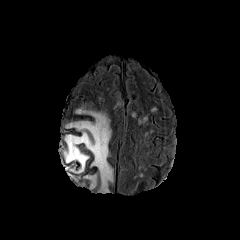
FLAIR MR image.
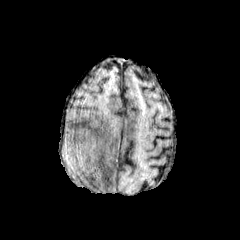
T1-weighted MRI.
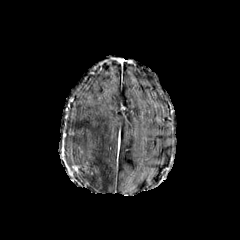
Same slice, post-contrast T1-weighted magnetic resonance.
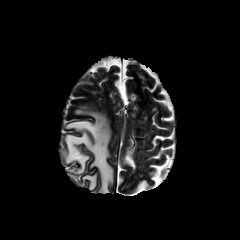
T2-weighted MR of the same slice.
peritumoral edema — <box>84,175,96,187</box>, <box>65,109,113,192</box>